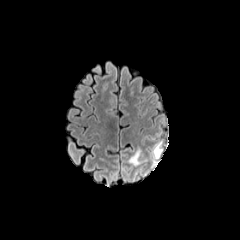
FLAIR magnetic resonance.
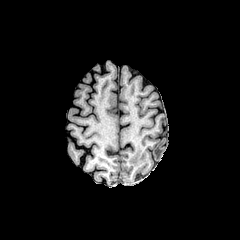
T1-weighted MR image.
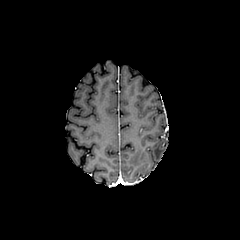
Post-contrast T1-weighted magnetic resonance.
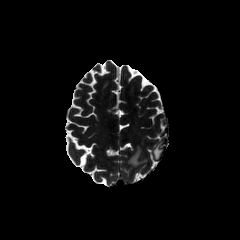
T2-weighted magnetic resonance of the same slice.
Axial view; Brain
peritumoral edema — bbox=[153, 143, 162, 158]; bbox=[128, 149, 140, 165]